FLAIR MR image.
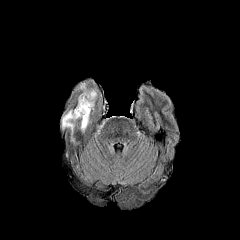
T1-weighted MR.
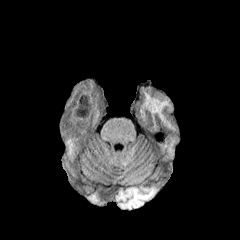
Post-contrast T1-weighted MR image.
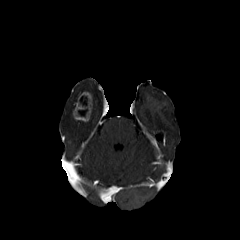
T2-weighted magnetic resonance.
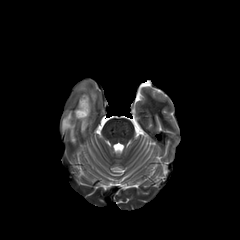
Brain
2 necrotic tumor core regions are located at 79,96,87,106; 78,108,87,116. The enhancing tumor is bounded by 72,91,92,121. 3 peritumoral edema regions are located at 62,110,75,142; 80,121,90,132; 75,82,97,114.